FLAIR magnetic resonance.
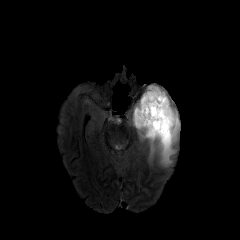
T1-weighted magnetic resonance.
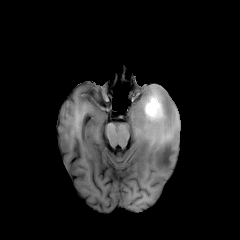
Post-contrast T1-weighted magnetic resonance.
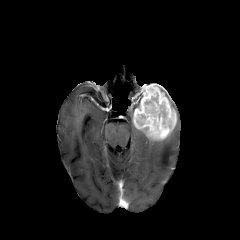
T2-weighted MR image.
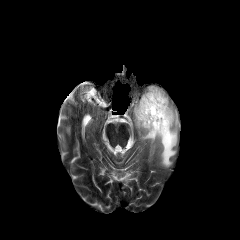
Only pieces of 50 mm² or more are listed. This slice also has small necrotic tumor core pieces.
The largest peritumoral edema region is bounded by [137, 88, 180, 166]. The enhancing tumor appears at [132, 84, 176, 139].